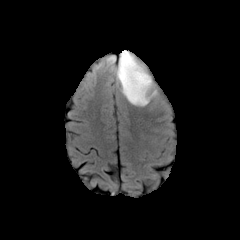
FLAIR MR.
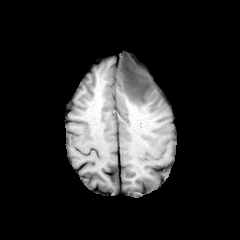
T1-weighted MRI of the same slice.
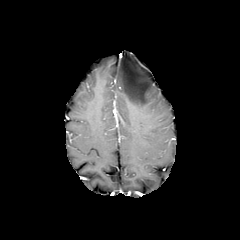
Same slice, post-contrast T1-weighted MR.
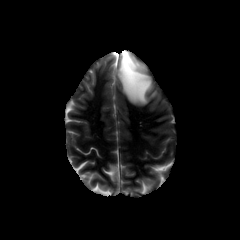
Same slice, T2-weighted MRI.
Head
peritumoral edema at 116,50,157,106